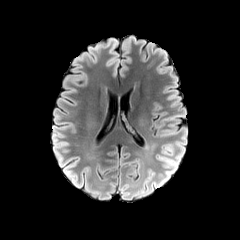
FLAIR magnetic resonance.
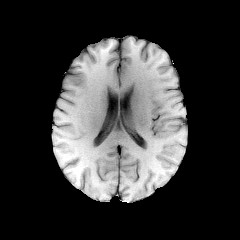
Same slice, T1-weighted MR image.
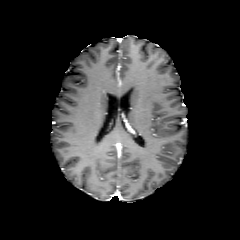
Post-contrast T1-weighted MR image.
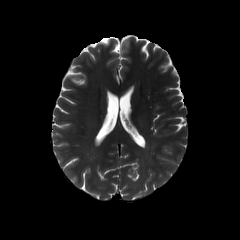
T2-weighted MR image.
Head. Axial view. Image size 240x240.
peritumoral_edema:
  - left=157, top=145, right=184, bottom=186